Image covers 240 mm x 240 mm
FLAIR magnetic resonance.
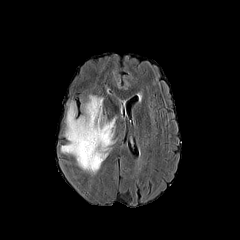
T1-weighted magnetic resonance.
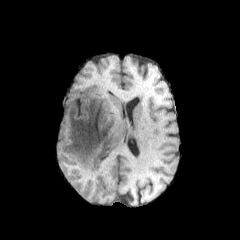
Post-contrast T1-weighted MRI.
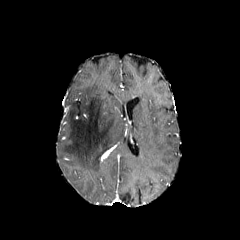
T2-weighted MRI.
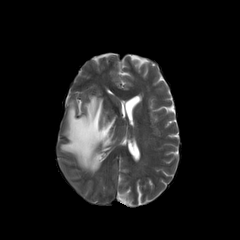
peritumoral edema at left=61, top=95, right=118, bottom=173